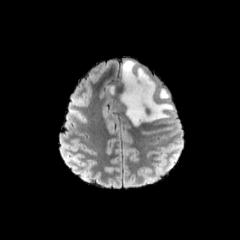
FLAIR MR image.
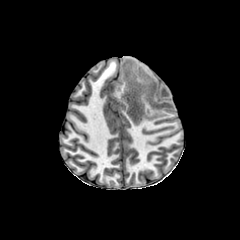
T1-weighted MRI.
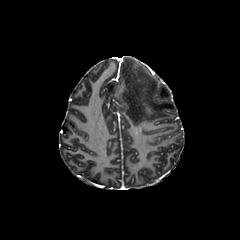
Same slice, post-contrast T1-weighted MR image.
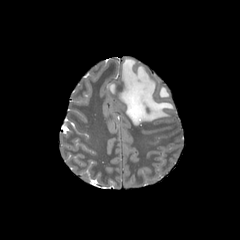
T2-weighted MR.
Axial view
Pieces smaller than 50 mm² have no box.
peritumoral edema at x1=120, y1=59, x2=173, y2=125; x1=159, y1=88, x2=169, y2=98